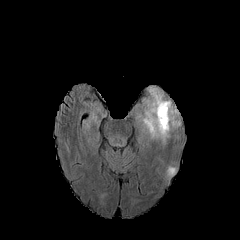
FLAIR MR image.
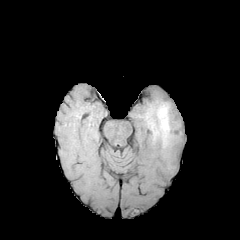
T1-weighted MR.
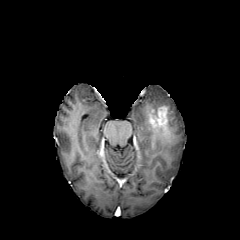
Post-contrast T1-weighted magnetic resonance of the same slice.
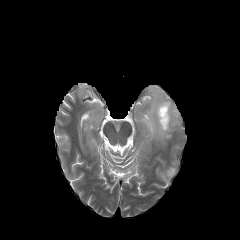
T2-weighted MR of the same slice.
Brain | Axial plane
enhancing tumor — x1=149, y1=106, x2=168, y2=135
peritumoral edema — x1=141, y1=86, x2=180, y2=141; x1=168, y1=168, x2=175, y2=176